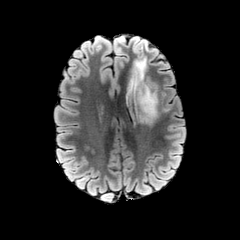
FLAIR MRI.
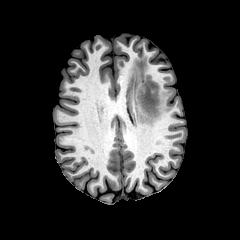
T1-weighted magnetic resonance.
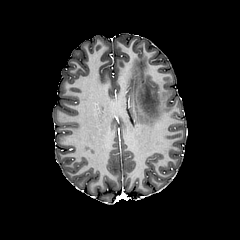
Post-contrast T1-weighted MR.
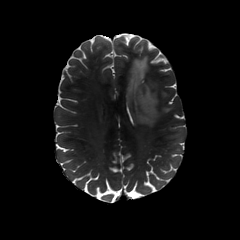
Same slice, T2-weighted magnetic resonance.
Brain
The peritumoral edema is located at rect(126, 59, 159, 125).